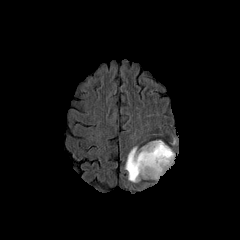
FLAIR magnetic resonance.
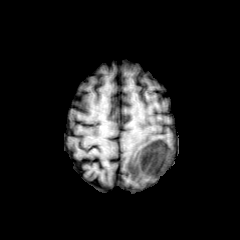
Same slice, T1-weighted MRI.
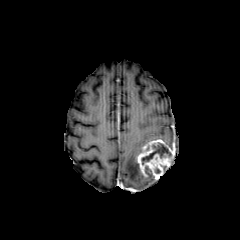
Post-contrast T1-weighted MRI.
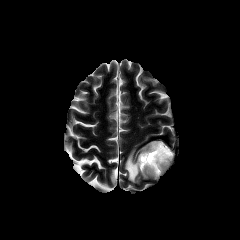
Same slice, T2-weighted MR image.
Image size 240x240
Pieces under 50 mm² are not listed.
<segmentation>
  <peritumoral_edema>bbox=[125, 147, 148, 182]</peritumoral_edema>
  <necrotic_tumor_core>bbox=[141, 143, 171, 164]</necrotic_tumor_core>
  <enhancing_tumor>bbox=[136, 139, 174, 179]</enhancing_tumor>
</segmentation>